Slice index 100.
FLAIR magnetic resonance.
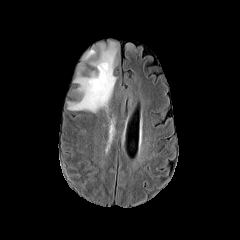
T1-weighted MR.
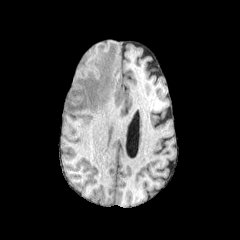
Post-contrast T1-weighted magnetic resonance.
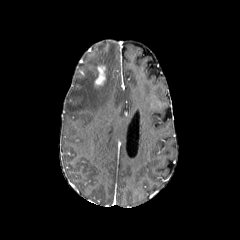
T2-weighted MR.
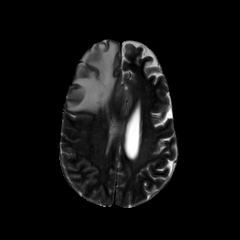
Findings:
* peritumoral edema: l=67, t=42, r=117, b=112; l=83, t=49, r=95, b=60
* enhancing tumor: l=95, t=66, r=105, b=85